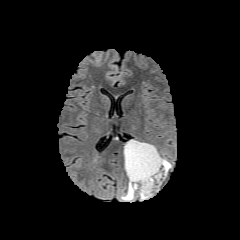
FLAIR MR.
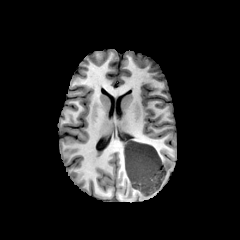
T1-weighted MR.
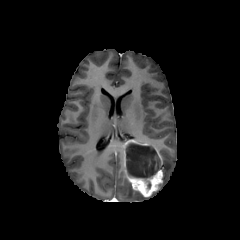
Same slice, post-contrast T1-weighted MR image.
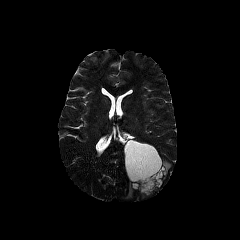
T2-weighted MR.
Head | Axial view
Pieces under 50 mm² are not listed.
enhancing tumor: box=[123, 140, 163, 197] | peritumoral edema: box=[163, 159, 171, 180]; box=[121, 182, 134, 200] | necrotic tumor core: box=[126, 143, 161, 178]